FLAIR magnetic resonance.
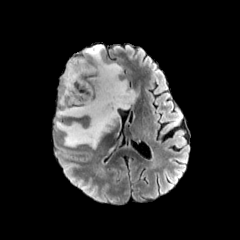
T1-weighted MR.
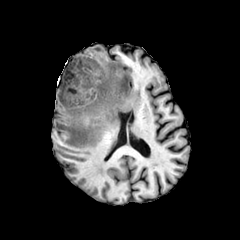
Post-contrast T1-weighted MRI.
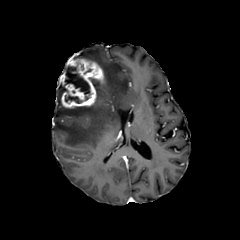
T2-weighted MR image.
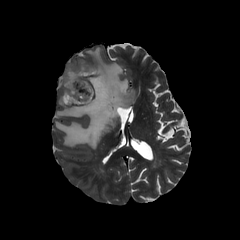
Axial view, Image size 240x240
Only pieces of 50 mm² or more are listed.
enhancing tumor: bounding box {"x1": 60, "y1": 57, "x2": 105, "y2": 107}
necrotic tumor core: bounding box {"x1": 65, "y1": 66, "x2": 90, "y2": 94}, {"x1": 65, "y1": 95, "x2": 81, "y2": 103}
peritumoral edema: bounding box {"x1": 56, "y1": 45, "x2": 137, "y2": 148}